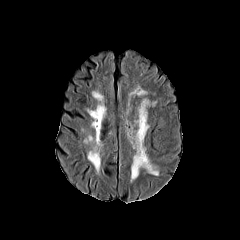
FLAIR MR image.
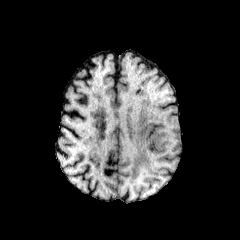
T1-weighted MR image.
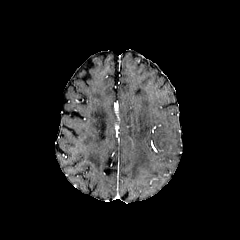
Post-contrast T1-weighted MRI of the same slice.
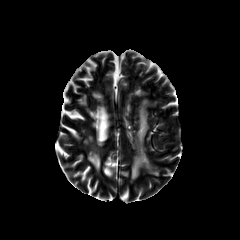
T2-weighted MRI.
Axial plane | Head
* peritumoral edema: [131,100,158,180]